Slice index 91.
FLAIR MR.
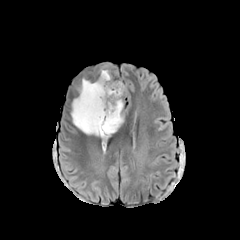
T1-weighted MRI.
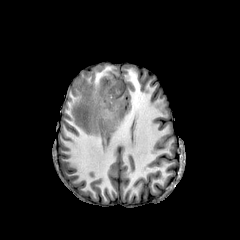
Post-contrast T1-weighted MR image.
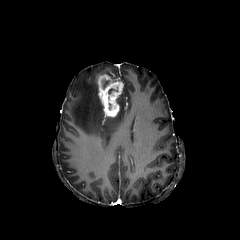
T2-weighted MR image.
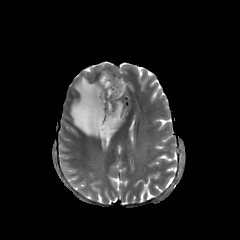
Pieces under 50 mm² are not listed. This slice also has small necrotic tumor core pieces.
{"enhancing_tumor": [{"x1": 98, "y1": 74, "x2": 123, "y2": 117}], "peritumoral_edema": [{"x1": 71, "y1": 77, "x2": 126, "y2": 143}]}